FLAIR MR image.
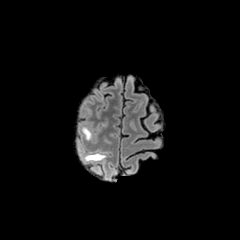
T1-weighted MRI.
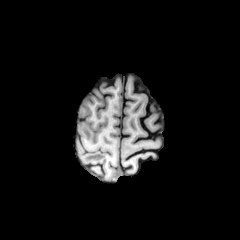
Post-contrast T1-weighted MRI.
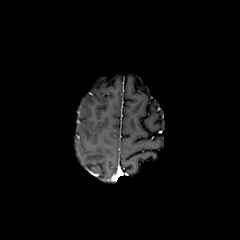
T2-weighted MRI.
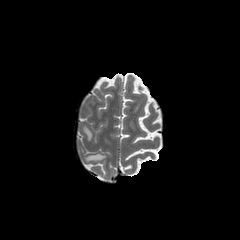
240x240 px, Axial slice, Head
peritumoral edema: bounding box {"x1": 82, "y1": 126, "x2": 91, "y2": 139}, {"x1": 84, "y1": 153, "x2": 105, "y2": 161}